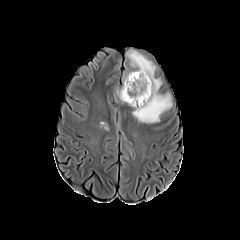
FLAIR MR image.
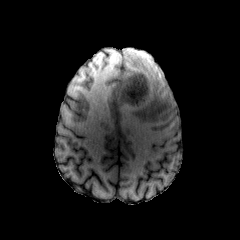
T1-weighted MR image of the same slice.
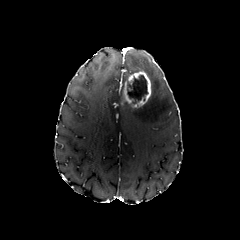
Post-contrast T1-weighted MR image.
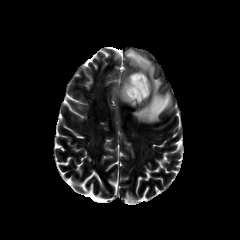
Same slice, T2-weighted magnetic resonance.
Brain, Axial plane
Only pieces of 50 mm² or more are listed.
The 2 largest peritumoral edema regions are located at {"x1": 132, "y1": 79, "x2": 171, "y2": 123}, {"x1": 133, "y1": 56, "x2": 152, "y2": 73}. The largest necrotic tumor core region lies within {"x1": 127, "y1": 75, "x2": 147, "y2": 103}. The largest enhancing tumor region is bounded by {"x1": 122, "y1": 71, "x2": 151, "y2": 107}.